FLAIR MRI.
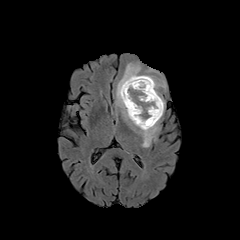
T1-weighted MRI.
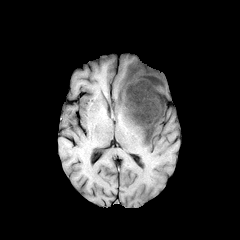
Post-contrast T1-weighted MR image.
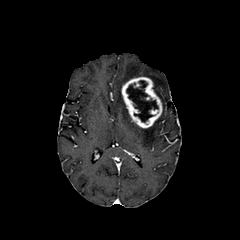
T2-weighted MR image.
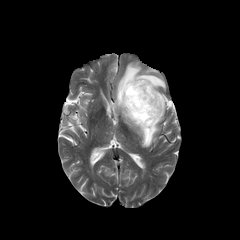
240x240; Brain
necrotic tumor core — x1=126 y1=80 x2=158 y2=122
peritumoral edema — x1=116 y1=62 x2=166 y2=147
enhancing tumor — x1=121 y1=76 x2=162 y2=128